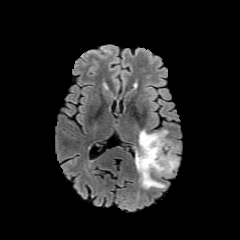
FLAIR MR image.
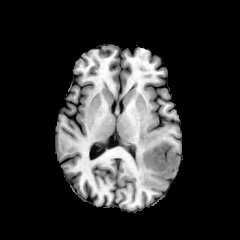
Same slice, T1-weighted MR image.
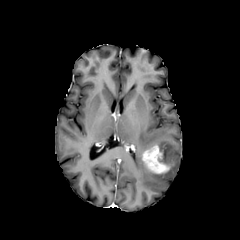
Post-contrast T1-weighted magnetic resonance of the same slice.
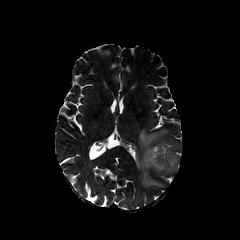
Same slice, T2-weighted MR.
Axial slice. Head.
Findings:
* peritumoral edema: <box>135,130,178,188</box>
* enhancing tumor: <box>142,145,172,173</box>